Brain
FLAIR MRI.
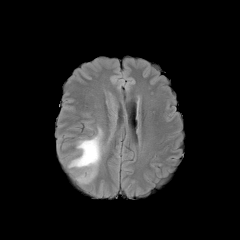
T1-weighted MR image.
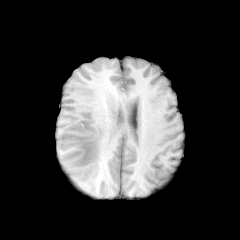
Post-contrast T1-weighted MR image.
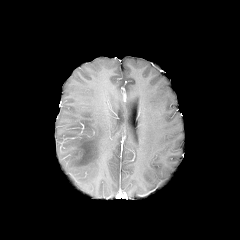
T2-weighted MR image.
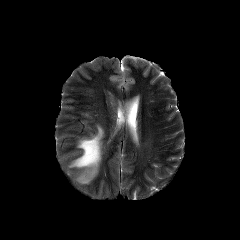
<segmentation>
  <peritumoral_edema><bbox>68, 127, 102, 183</bbox></peritumoral_edema>
</segmentation>